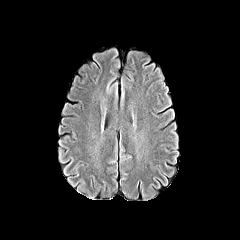
FLAIR magnetic resonance.
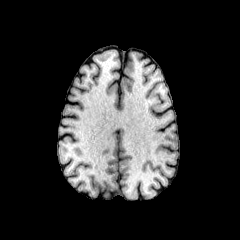
T1-weighted MRI of the same slice.
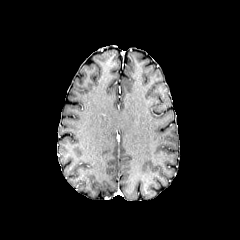
Post-contrast T1-weighted magnetic resonance.
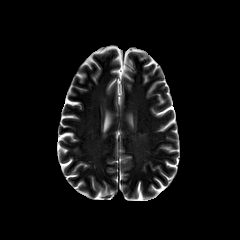
T2-weighted MR image.
peritumoral_edema:
  - x1=106, y1=76, x2=117, y2=93